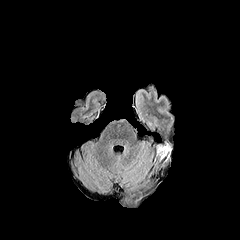
FLAIR MRI.
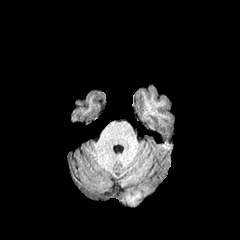
T1-weighted MRI.
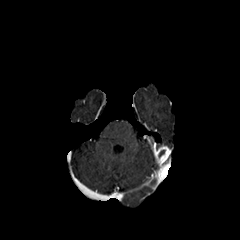
Post-contrast T1-weighted MR.
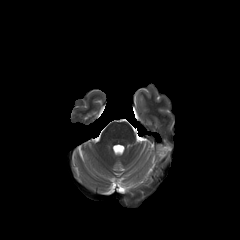
T2-weighted MR of the same slice.
240x240 px. Head. Axial plane.
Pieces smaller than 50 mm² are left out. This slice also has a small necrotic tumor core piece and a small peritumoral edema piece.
The enhancing tumor is at {"x1": 156, "y1": 145, "x2": 171, "y2": 160}.